Slice 83 of 155. Brain. 240x240 px.
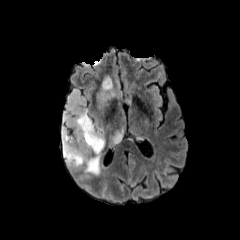
FLAIR MRI.
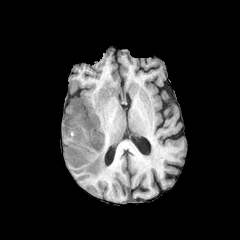
T1-weighted MRI of the same slice.
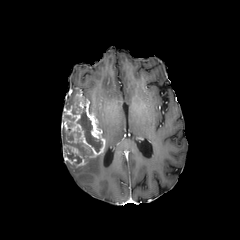
Post-contrast T1-weighted magnetic resonance of the same slice.
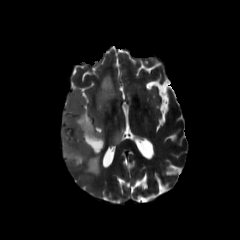
Same slice, T2-weighted MR image.
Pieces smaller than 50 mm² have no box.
Segmented structures:
- necrotic tumor core: <bbox>77, 110, 102, 152</bbox>, <bbox>66, 148, 81, 163</bbox>, <bbox>63, 133, 79, 149</bbox>
- enhancing tumor: <bbox>61, 94, 105, 166</bbox>
- peritumoral edema: <bbox>107, 123, 125, 149</bbox>, <bbox>64, 89, 79, 109</bbox>, <bbox>83, 148, 107, 176</bbox>, <bbox>94, 74, 116, 128</bbox>, <bbox>87, 87, 94, 102</bbox>